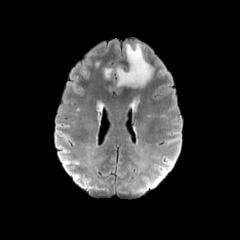
FLAIR MR image.
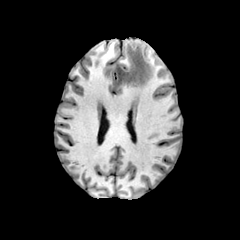
T1-weighted MR.
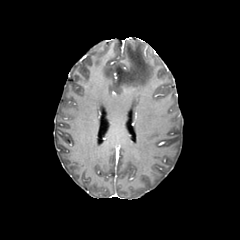
Post-contrast T1-weighted MR.
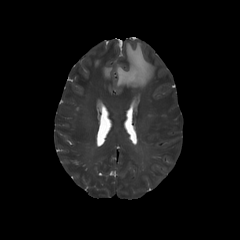
T2-weighted MR.
Head, Image size 240x240
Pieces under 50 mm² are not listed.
The 2 largest peritumoral edema regions appear at 104,68,112,77; 116,43,153,87.